Brain. Slice 91 of 155. Axial plane. Image width 240 mm.
FLAIR magnetic resonance.
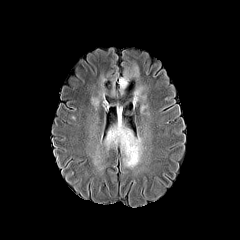
T1-weighted MRI.
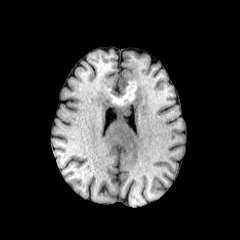
Post-contrast T1-weighted MR.
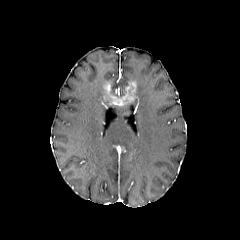
T2-weighted MR.
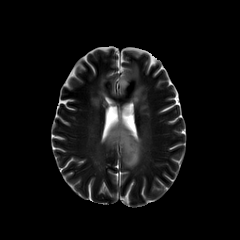
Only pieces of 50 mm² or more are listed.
peritumoral edema: x1=104, y1=114, x2=143, y2=168; x1=91, y1=76, x2=106, y2=108; x1=119, y1=65, x2=145, y2=105